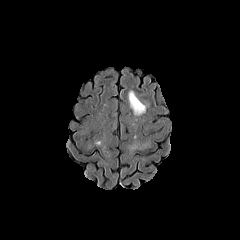
FLAIR MR image.
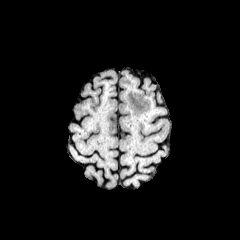
Same slice, T1-weighted magnetic resonance.
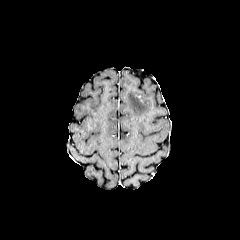
Same slice, post-contrast T1-weighted magnetic resonance.
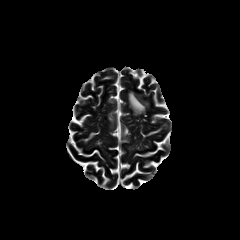
T2-weighted magnetic resonance of the same slice.
Axial plane
<segmentation>
  <peritumoral_edema>[128, 90, 146, 115]</peritumoral_edema>
</segmentation>